FLAIR MRI.
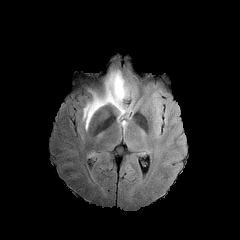
T1-weighted MR image.
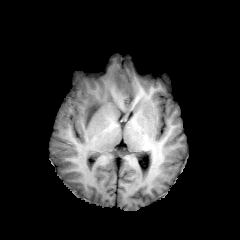
Post-contrast T1-weighted MR image.
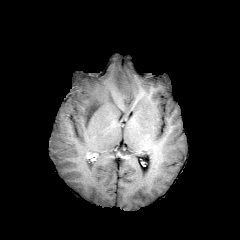
T2-weighted MR.
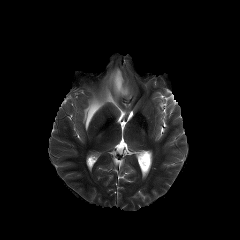
Brain
peritumoral edema: x1=83 y1=69 x2=130 y2=129